Brain. 240x240. Slice index 70.
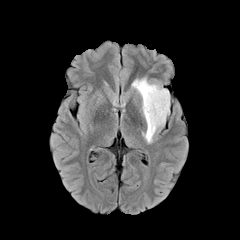
FLAIR MR.
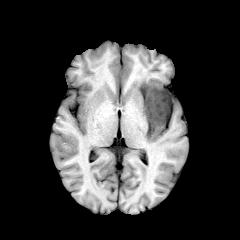
T1-weighted magnetic resonance.
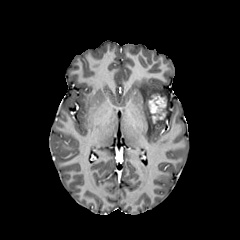
Same slice, post-contrast T1-weighted magnetic resonance.
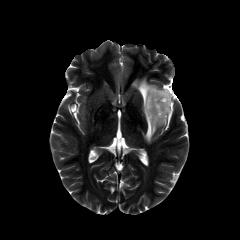
T2-weighted MR image.
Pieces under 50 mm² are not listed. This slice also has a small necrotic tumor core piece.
enhancing tumor — box=[148, 94, 166, 122]
peritumoral edema — box=[132, 78, 170, 143]